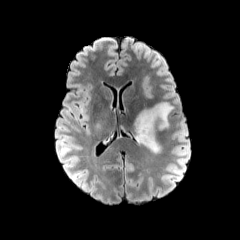
FLAIR MR.
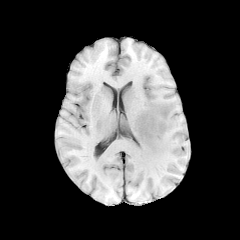
T1-weighted MRI.
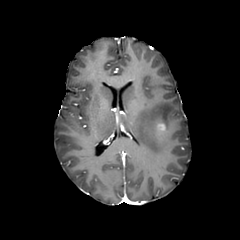
Post-contrast T1-weighted MR image.
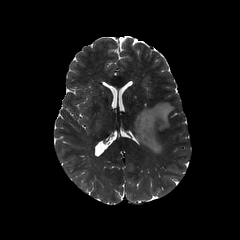
T2-weighted magnetic resonance.
Image size 240x240
enhancing_tumor:
  - (157, 123, 165, 131)
peritumoral_edema:
  - (134, 102, 173, 152)